240x240 px. Axial view. Brain.
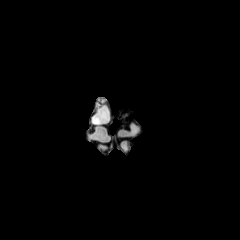
FLAIR MRI.
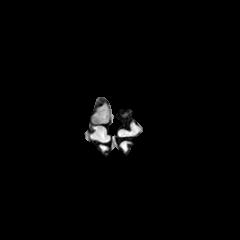
T1-weighted MRI.
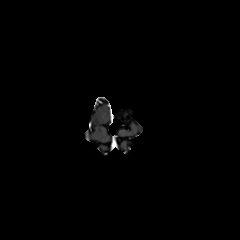
Post-contrast T1-weighted MRI.
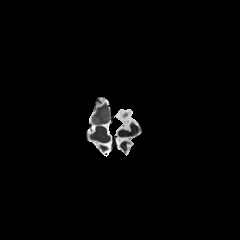
T2-weighted MRI.
peritumoral edema at 93,108,108,124